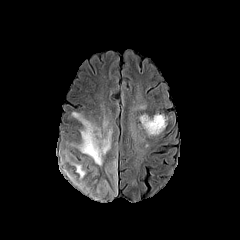
FLAIR MRI.
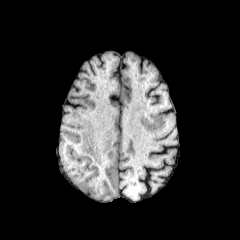
T1-weighted MR image.
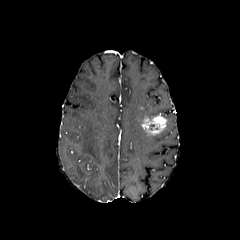
Post-contrast T1-weighted MR image.
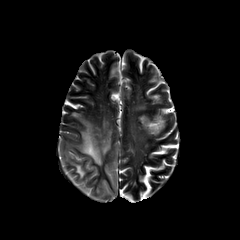
T2-weighted MR image.
240x240 px | Axial view
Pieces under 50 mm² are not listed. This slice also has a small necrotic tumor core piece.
The enhancing tumor appears at {"x1": 141, "y1": 114, "x2": 167, "y2": 138}. The 4 largest peritumoral edema regions appear at {"x1": 65, "y1": 169, "x2": 77, "y2": 182}, {"x1": 72, "y1": 113, "x2": 111, "y2": 165}, {"x1": 79, "y1": 162, "x2": 117, "y2": 197}, {"x1": 63, "y1": 154, "x2": 88, "y2": 177}.